Head
FLAIR MR image.
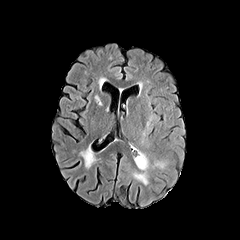
T1-weighted MR image.
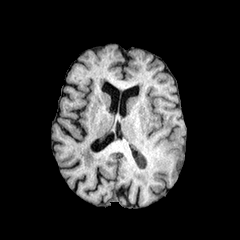
Post-contrast T1-weighted MRI.
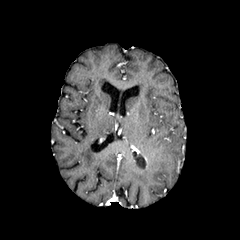
T2-weighted magnetic resonance.
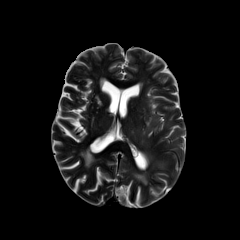
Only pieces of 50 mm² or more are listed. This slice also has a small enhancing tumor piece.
peritumoral edema: x1=134, y1=151, x2=148, y2=171 | necrotic tumor core: x1=137, y1=154, x2=146, y2=167